FLAIR MRI.
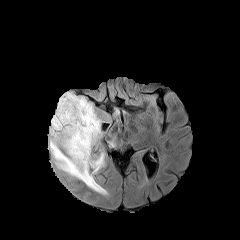
T1-weighted MRI.
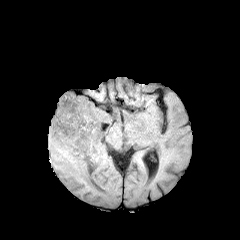
Post-contrast T1-weighted MR image.
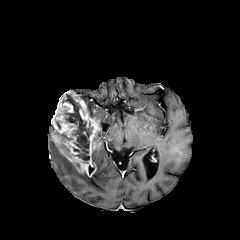
T2-weighted MRI.
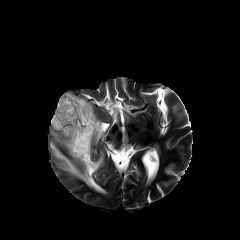
Axial plane.
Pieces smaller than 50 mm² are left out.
necrotic tumor core: l=62, t=94, r=91, b=162 | enhancing tumor: l=51, t=91, r=101, b=177 | peritumoral edema: l=79, t=96, r=102, b=125; l=49, t=137, r=107, b=194